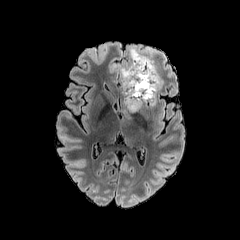
FLAIR magnetic resonance.
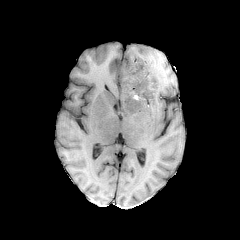
Same slice, T1-weighted magnetic resonance.
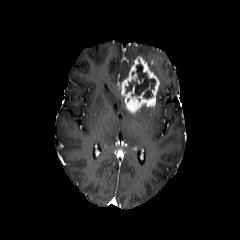
Post-contrast T1-weighted MR.
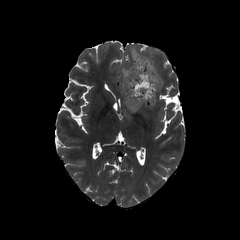
T2-weighted MR image.
Axial plane, Head
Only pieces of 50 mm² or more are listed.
peritumoral edema: (x1=119, y1=45, x2=163, y2=91) | necrotic tumor core: (x1=125, y1=63, x2=155, y2=99) | enhancing tumor: (x1=120, y1=56, x2=159, y2=113)